Slice 89/155, Axial slice, Image covers 240 mm x 240 mm, Image size 240x240
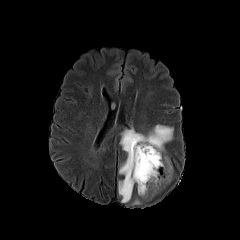
FLAIR MR.
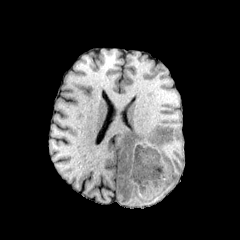
T1-weighted MR image.
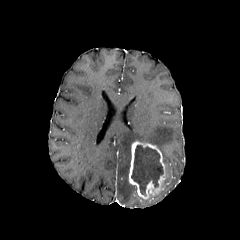
Post-contrast T1-weighted magnetic resonance.
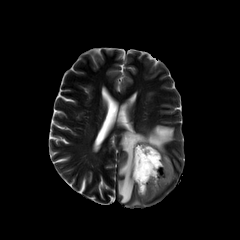
Same slice, T2-weighted MR.
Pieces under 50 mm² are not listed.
enhancing tumor: bbox(128, 141, 165, 199) | peritumoral edema: bbox(118, 125, 173, 202); bbox(163, 156, 172, 186) | necrotic tumor core: bbox(131, 145, 163, 194)